FLAIR magnetic resonance.
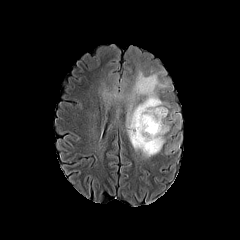
T1-weighted MR image.
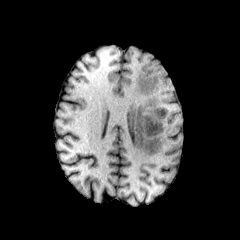
Post-contrast T1-weighted MR.
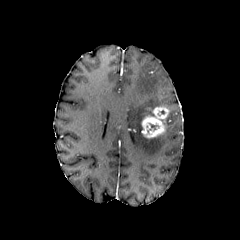
T2-weighted MRI.
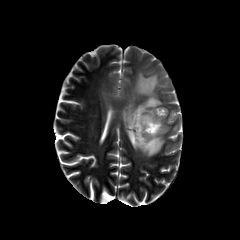
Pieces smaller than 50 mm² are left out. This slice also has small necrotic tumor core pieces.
The enhancing tumor is at [x1=141, y1=107, x2=168, y2=138]. The peritumoral edema is at [x1=127, y1=71, x2=169, y2=156].